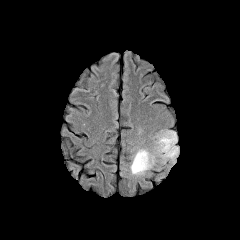
FLAIR magnetic resonance.
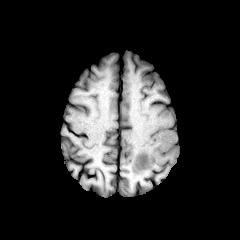
T1-weighted MR.
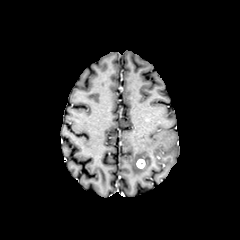
Post-contrast T1-weighted MR image.
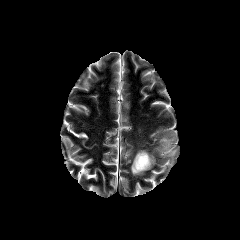
T2-weighted MRI of the same slice.
Axial plane
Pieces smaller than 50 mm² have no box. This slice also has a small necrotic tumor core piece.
peritumoral edema: bounding box 130,149,155,175; 155,130,179,164
enhancing tumor: bounding box 136,158,146,168